Slice 26 of 155 | Head
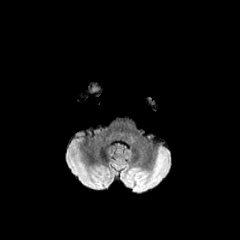
FLAIR MRI.
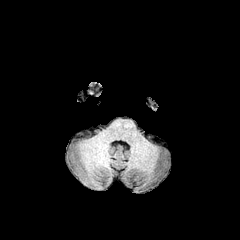
T1-weighted MR of the same slice.
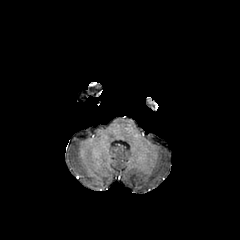
Post-contrast T1-weighted MR of the same slice.
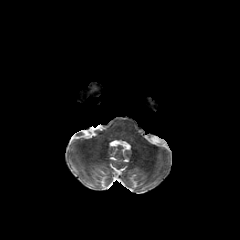
Same slice, T2-weighted MRI.
The peritumoral edema is at 77:83:102:102.